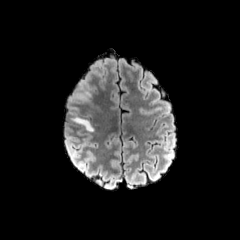
FLAIR MR image.
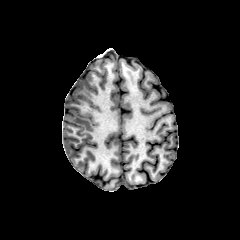
Same slice, T1-weighted MRI.
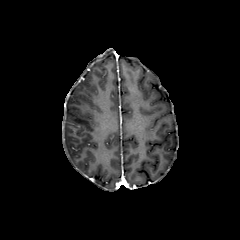
Same slice, post-contrast T1-weighted magnetic resonance.
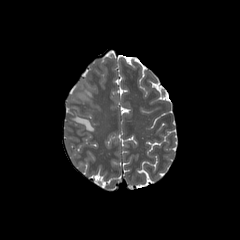
Same slice, T2-weighted MRI.
Brain.
2 peritumoral edema regions are located at (left=69, top=107, right=93, bottom=131), (left=69, top=81, right=91, bottom=102).